Slice index 59 | Image size 240x240 | Head
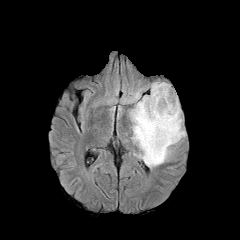
FLAIR MR image.
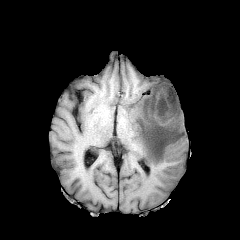
Same slice, T1-weighted magnetic resonance.
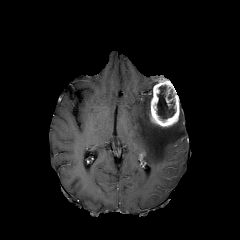
Post-contrast T1-weighted MR.
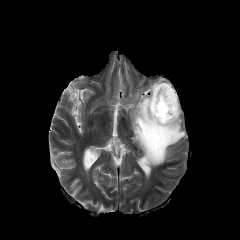
T2-weighted magnetic resonance.
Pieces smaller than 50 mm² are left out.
The enhancing tumor lies within 149,78,179,127. The largest necrotic tumor core region appears at 157,86,174,119. The peritumoral edema appears at 129,81,185,167.